FLAIR MR image.
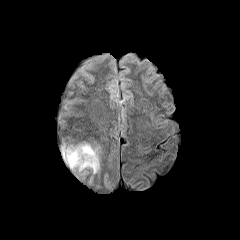
T1-weighted MR image.
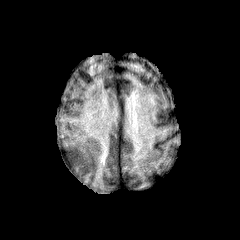
Post-contrast T1-weighted MRI.
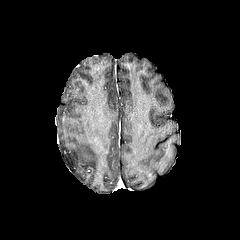
T2-weighted MR.
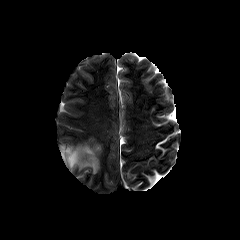
Axial slice
Segmented structures:
* peritumoral edema: 62,144,99,173